Brain; Image width 240 mm, 1.00 mm slice spacing
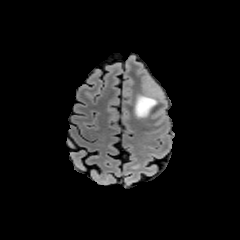
FLAIR magnetic resonance.
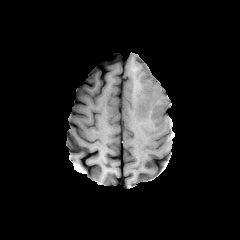
Same slice, T1-weighted MR image.
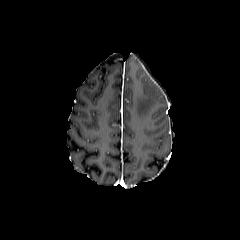
Post-contrast T1-weighted magnetic resonance.
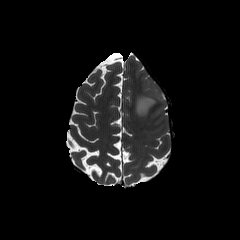
T2-weighted MR image.
peritumoral edema: rect(135, 95, 156, 117)